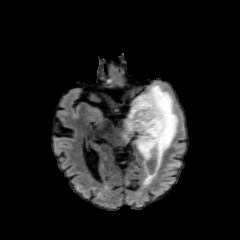
FLAIR MRI.
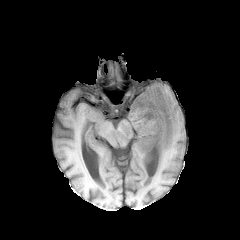
T1-weighted MRI.
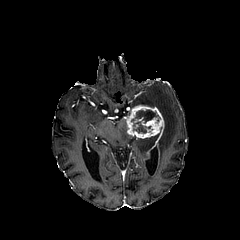
Post-contrast T1-weighted MR of the same slice.
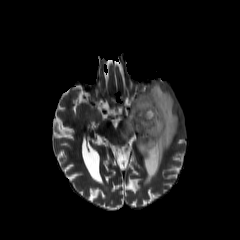
T2-weighted MR image.
Brain
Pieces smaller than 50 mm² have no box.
necrotic_tumor_core:
  - x1=132 y1=121 x2=146 y2=132
  - x1=134 y1=109 x2=158 y2=123
peritumoral_edema:
  - x1=121 y1=109 x2=133 y2=141
  - x1=133 y1=136 x2=157 y2=186
  - x1=131 y1=83 x2=178 y2=169
enhancing_tumor:
  - x1=125 y1=104 x2=164 y2=177